FLAIR MR.
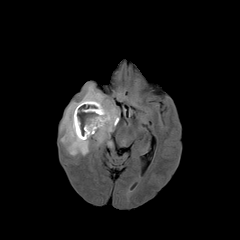
T1-weighted MR image.
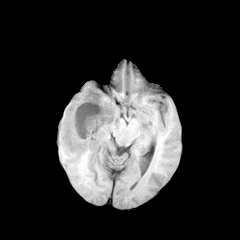
Post-contrast T1-weighted MR image.
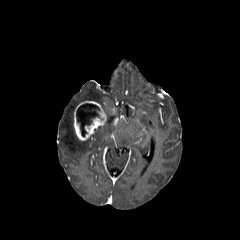
T2-weighted MR.
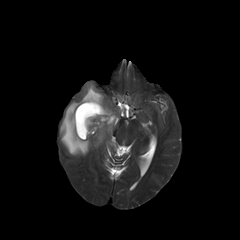
Axial slice. Brain.
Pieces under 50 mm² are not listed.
The largest enhancing tumor region is bounded by <box>73,101,106,140</box>. The largest peritumoral edema region is located at <box>60,83,119,155</box>. The necrotic tumor core is at <box>76,103,102,136</box>.